Brain, Slice 96 of 155
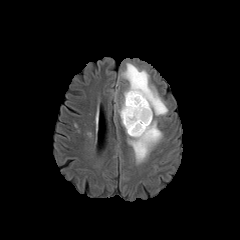
FLAIR MR image.
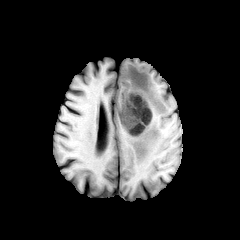
Same slice, T1-weighted MR image.
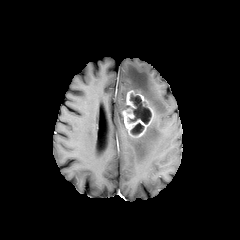
Post-contrast T1-weighted MRI.
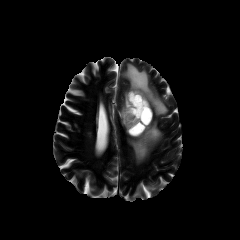
T2-weighted MR image.
The enhancing tumor lies within bbox(121, 90, 153, 137). 2 necrotic tumor core regions are located at bbox(129, 94, 151, 124); bbox(130, 123, 144, 135). The peritumoral edema appears at bbox(116, 63, 168, 163).